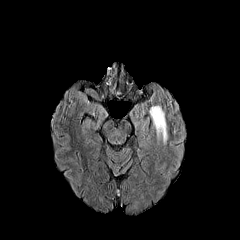
FLAIR MRI.
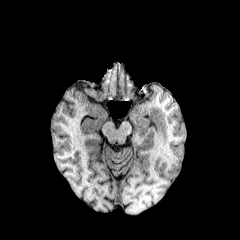
T1-weighted MR.
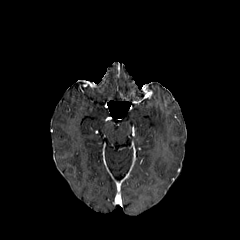
Post-contrast T1-weighted magnetic resonance.
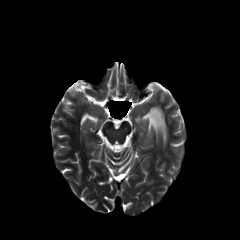
T2-weighted MRI.
Brain.
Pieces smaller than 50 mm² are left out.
* peritumoral edema: 149,106,167,144